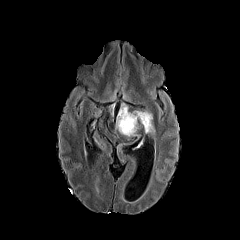
FLAIR MR.
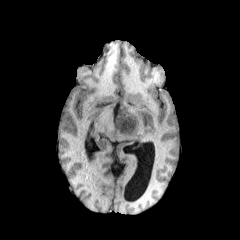
T1-weighted MR.
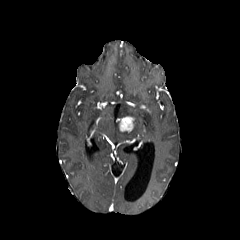
Post-contrast T1-weighted MR.
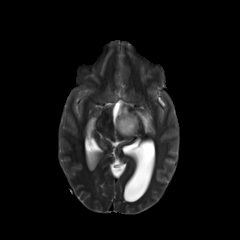
T2-weighted MRI of the same slice.
Image size 240x240
- peritumoral edema: bbox(116, 103, 155, 136)
- enhancing tumor: bbox(118, 116, 136, 132)